Head; Slice index 116
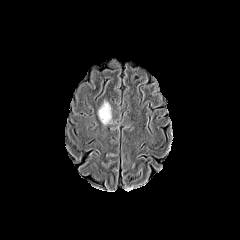
FLAIR magnetic resonance.
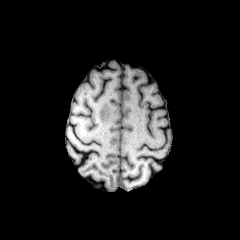
T1-weighted MR of the same slice.
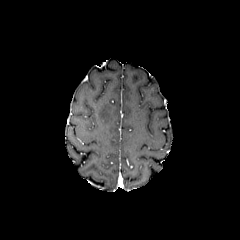
Same slice, post-contrast T1-weighted MR image.
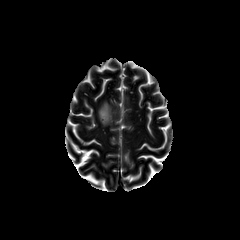
T2-weighted MR image of the same slice.
Segmented structures:
* peritumoral edema: left=98, top=102, right=111, bottom=124